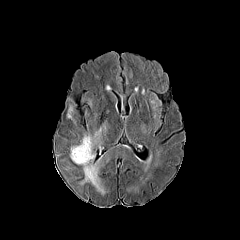
FLAIR MR image.
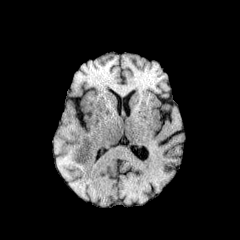
T1-weighted MRI.
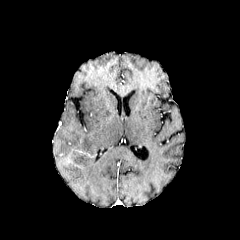
Post-contrast T1-weighted magnetic resonance.
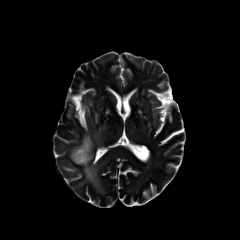
T2-weighted MRI of the same slice.
240x240
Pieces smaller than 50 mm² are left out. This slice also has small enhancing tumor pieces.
peritumoral_edema:
  - {"x1": 70, "y1": 128, "x2": 104, "y2": 194}